FLAIR MRI.
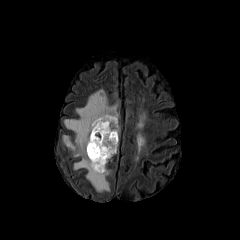
T1-weighted magnetic resonance.
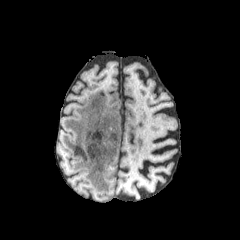
Post-contrast T1-weighted MR image.
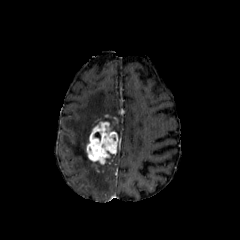
T2-weighted MR.
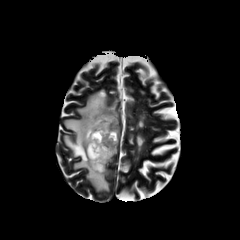
Brain, Axial plane
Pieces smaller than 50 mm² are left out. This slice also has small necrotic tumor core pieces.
The largest peritumoral edema region is at [63,89,118,191]. The largest enhancing tumor region is at [86,114,118,172].